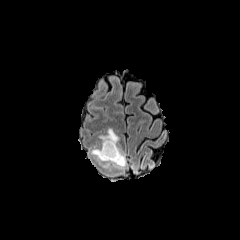
FLAIR MR image.
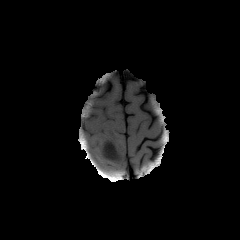
T1-weighted magnetic resonance of the same slice.
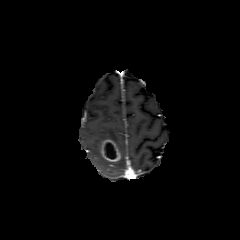
Same slice, post-contrast T1-weighted MR.
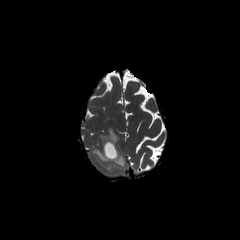
T2-weighted magnetic resonance.
Brain
The necrotic tumor core is at rect(104, 142, 116, 159). 2 peritumoral edema regions are bounded by rect(91, 146, 125, 166); rect(100, 128, 119, 145). The enhancing tumor is at rect(100, 138, 121, 162).